Axial plane. Image covers 240 mm x 240 mm.
FLAIR magnetic resonance.
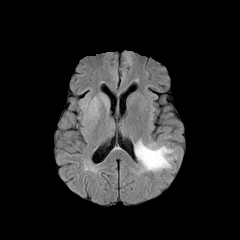
T1-weighted magnetic resonance.
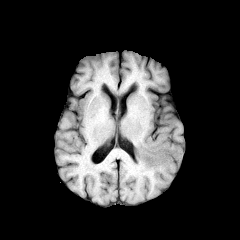
Post-contrast T1-weighted MR image.
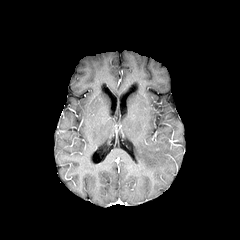
T2-weighted magnetic resonance.
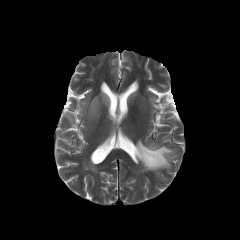
{"peritumoral_edema": ["region(100, 93, 107, 104)", "region(83, 97, 99, 140)", "region(134, 139, 175, 171)", "region(81, 94, 90, 110)"]}